Slice 107 of 155
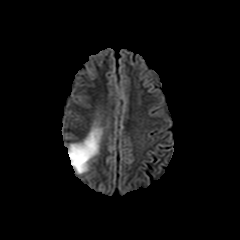
FLAIR MRI.
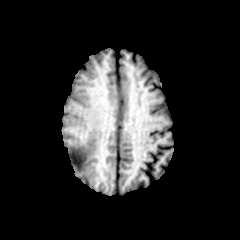
T1-weighted MR image of the same slice.
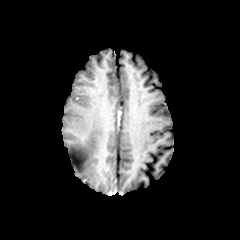
Post-contrast T1-weighted MRI of the same slice.
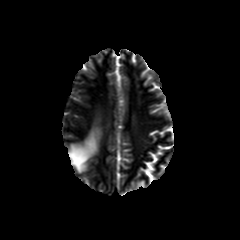
T2-weighted MR of the same slice.
The peritumoral edema lies within 68,127,101,173.